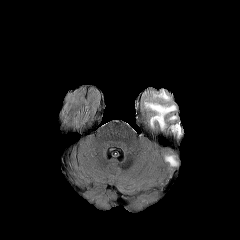
FLAIR MR image.
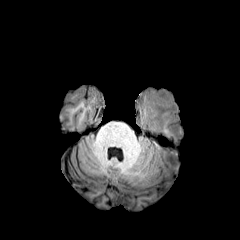
Same slice, T1-weighted magnetic resonance.
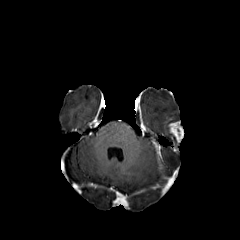
Post-contrast T1-weighted MR image.
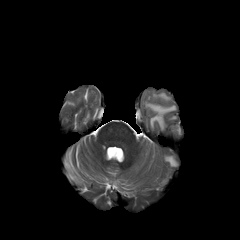
T2-weighted MRI.
Axial slice
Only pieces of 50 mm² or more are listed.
The largest enhancing tumor region lies within [168,122,183,139]. The 2 largest peritumoral edema regions are bounded by [146,103,175,127], [166,156,176,165].